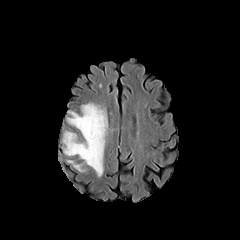
FLAIR magnetic resonance.
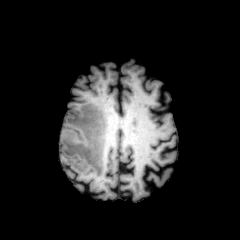
T1-weighted MRI of the same slice.
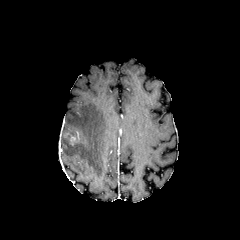
Post-contrast T1-weighted MR.
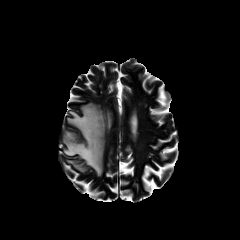
Same slice, T2-weighted magnetic resonance.
Brain | 240x240
enhancing tumor: l=65, t=133, r=76, b=145 | peritumoral edema: l=63, t=102, r=107, b=176